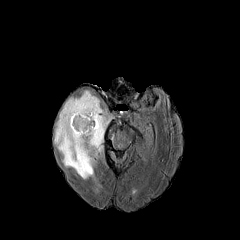
FLAIR MR.
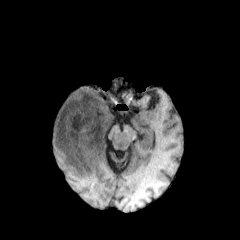
T1-weighted MR image.
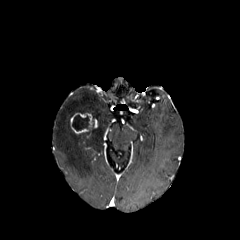
Same slice, post-contrast T1-weighted MRI.
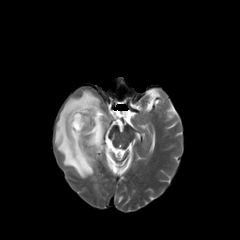
T2-weighted MR image.
Brain
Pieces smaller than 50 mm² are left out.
enhancing_tumor:
  - region(70, 113, 92, 133)
necrotic_tumor_core:
  - region(72, 114, 89, 130)
peritumoral_edema:
  - region(54, 90, 114, 178)